FLAIR magnetic resonance.
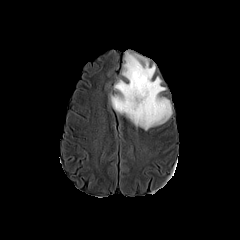
T1-weighted MR.
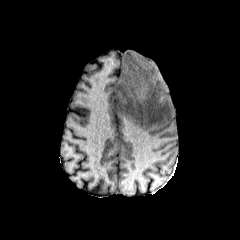
Post-contrast T1-weighted MR image.
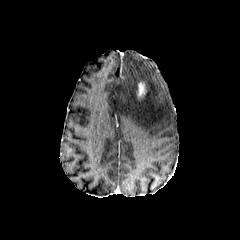
T2-weighted MRI.
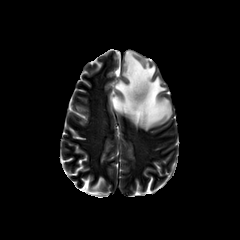
240x240
The peritumoral edema lies within <box>110,51,172,130</box>. The enhancing tumor is bounded by <box>137,82,146,97</box>.